Axial slice | Head | Image size 240x240
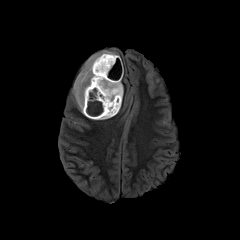
FLAIR MR image.
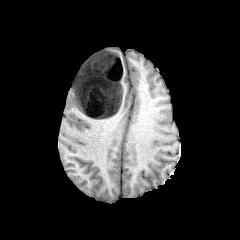
T1-weighted MR.
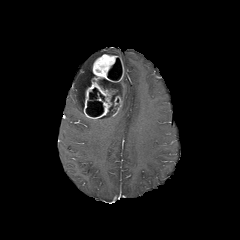
Post-contrast T1-weighted MR image of the same slice.
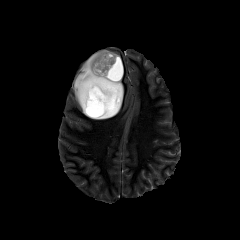
Same slice, T2-weighted MR image.
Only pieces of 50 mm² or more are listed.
Findings:
• necrotic tumor core: 86,88,104,116; 107,57,122,80; 98,79,121,115
• enhancing tumor: 83,54,123,119; 112,96,122,116
• peritumoral edema: 72,50,119,115